Brain; Image size 240x240
FLAIR MR image.
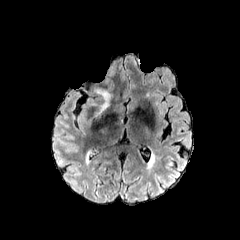
T1-weighted MR.
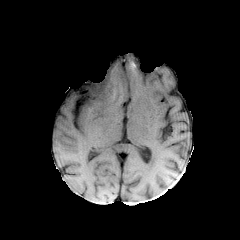
Post-contrast T1-weighted MR.
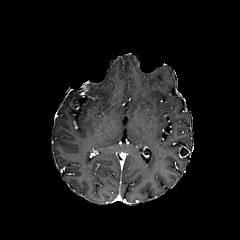
T2-weighted MR image.
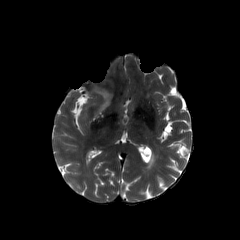
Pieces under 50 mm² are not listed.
The largest peritumoral edema region is located at rect(95, 89, 110, 111).